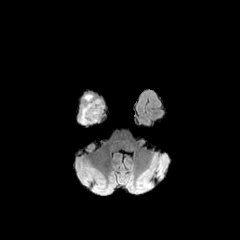
FLAIR MRI.
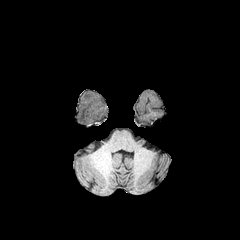
T1-weighted magnetic resonance.
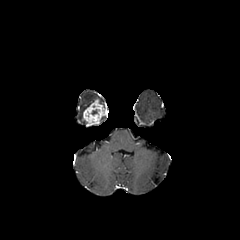
Post-contrast T1-weighted magnetic resonance.
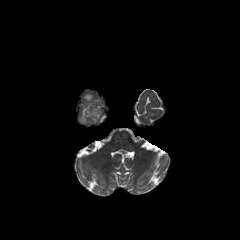
Same slice, T2-weighted magnetic resonance.
Image size 240x240. Axial view. Brain.
necrotic tumor core: bounding box region(86, 105, 100, 117)
enhancing tumor: bounding box region(82, 99, 103, 125)
peritumoral edema: bounding box region(78, 93, 98, 125); region(99, 99, 106, 120)